FLAIR MR image.
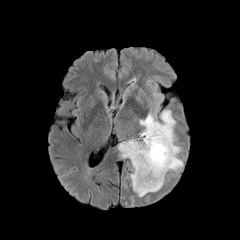
T1-weighted MR.
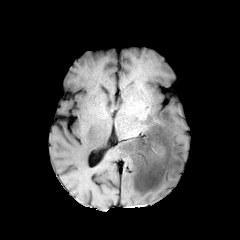
Post-contrast T1-weighted MR.
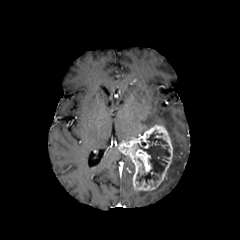
T2-weighted MR.
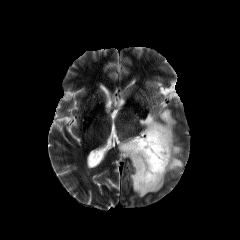
Brain
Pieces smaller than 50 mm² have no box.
The 2 largest peritumoral edema regions are bounded by (x1=133, y1=178, x2=165, y2=197), (x1=139, y1=109, x2=183, y2=176). The largest necrotic tumor core region lies within (x1=136, y1=132, x2=169, y2=183). The largest enhancing tumor region is bounded by (x1=118, y1=124, x2=173, y2=191).